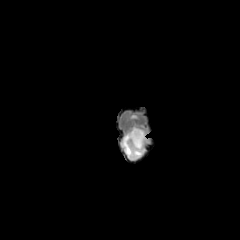
FLAIR MRI.
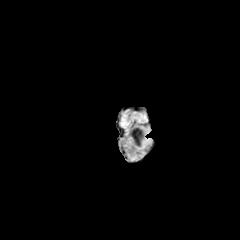
Same slice, T1-weighted MRI.
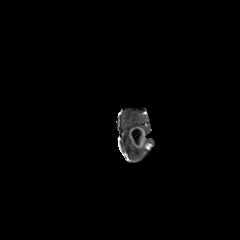
Same slice, post-contrast T1-weighted MR image.
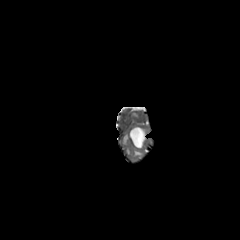
T2-weighted magnetic resonance.
240x240
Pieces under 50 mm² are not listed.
necrotic tumor core = <bbox>132, 129, 141, 144</bbox>
peritumoral edema = <bbox>122, 132, 144, 158</bbox>
enhancing tumor = <bbox>129, 127, 146, 148</bbox>